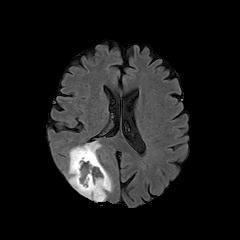
FLAIR MRI.
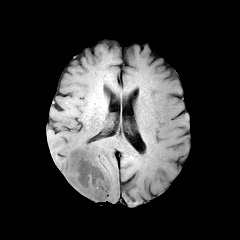
T1-weighted MR image of the same slice.
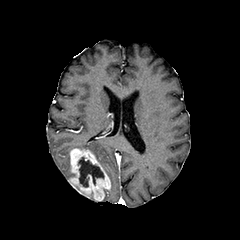
Post-contrast T1-weighted MR of the same slice.
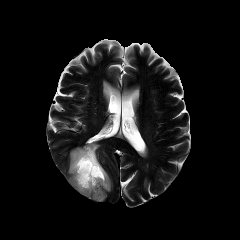
T2-weighted magnetic resonance of the same slice.
Axial view | Head
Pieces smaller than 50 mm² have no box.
The necrotic tumor core is bounded by (x1=78, y1=157, x2=104, y2=187). The enhancing tumor is bounded by (x1=69, y1=148, x2=110, y2=201). The 3 largest peritumoral edema regions are bounded by (x1=101, y1=170, x2=113, y2=201), (x1=67, y1=151, x2=75, y2=179), (x1=75, y1=141, x2=101, y2=162).